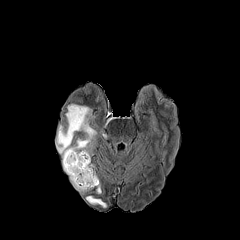
FLAIR MR.
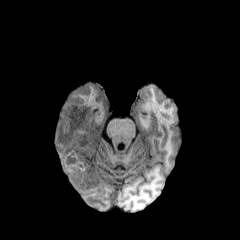
Same slice, T1-weighted MRI.
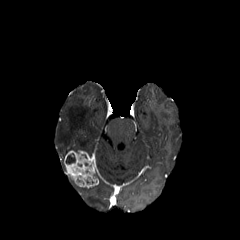
Post-contrast T1-weighted magnetic resonance of the same slice.
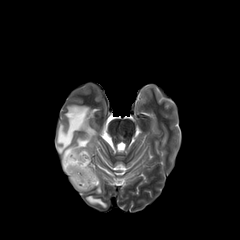
T2-weighted magnetic resonance.
Brain, Axial view
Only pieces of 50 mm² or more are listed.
necrotic tumor core: region(66, 153, 75, 164) | peritumoral edema: region(56, 104, 96, 170); region(71, 179, 91, 191); region(86, 196, 106, 207) | enhancing tumor: region(64, 150, 98, 188)